Slice 115/155 | Brain | Axial plane
FLAIR MRI.
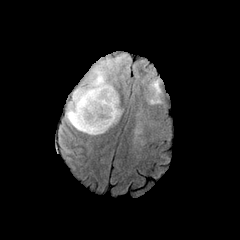
T1-weighted MR.
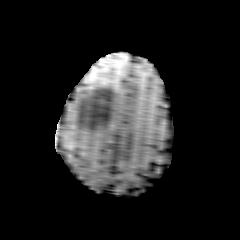
Post-contrast T1-weighted MR.
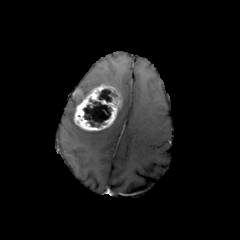
T2-weighted MR.
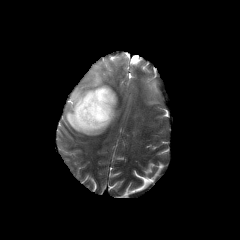
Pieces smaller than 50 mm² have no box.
peritumoral edema: bounding box {"x1": 65, "y1": 98, "x2": 107, "y2": 135}, {"x1": 79, "y1": 63, "x2": 111, "y2": 96}, {"x1": 113, "y1": 108, "x2": 121, "y2": 123}
enhancing tumor: bounding box {"x1": 69, "y1": 84, "x2": 120, "y2": 130}
necrotic tumor core: bounding box {"x1": 84, "y1": 102, "x2": 110, "y2": 125}, {"x1": 99, "y1": 89, "x2": 111, "y2": 101}